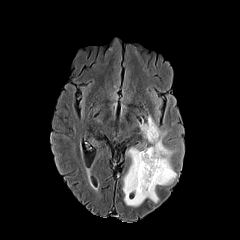
FLAIR MR image.
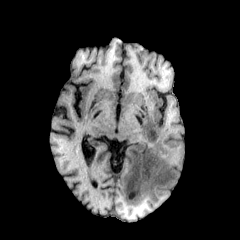
T1-weighted MR image.
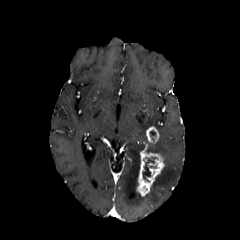
Post-contrast T1-weighted MR of the same slice.
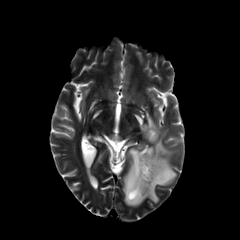
T2-weighted magnetic resonance of the same slice.
Axial plane
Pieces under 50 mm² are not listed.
The largest necrotic tumor core region is bounded by x1=143, y1=158, x2=154, y2=180. 2 enhancing tumor regions are located at x1=136, y1=148, x2=164, y2=196; x1=146, y1=126, x2=159, y2=143. The peritumoral edema lies within x1=122, y1=116, x2=176, y2=206.